FLAIR MRI.
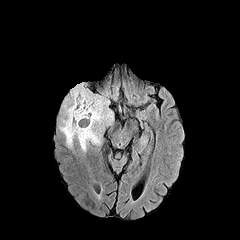
T1-weighted magnetic resonance.
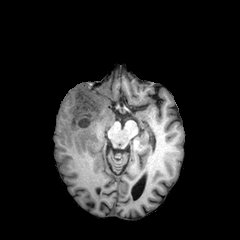
Post-contrast T1-weighted magnetic resonance.
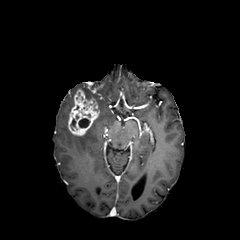
T2-weighted MR image.
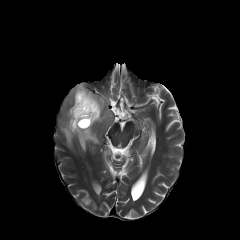
Brain; Axial slice
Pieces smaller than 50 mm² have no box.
enhancing tumor: bounding box 68, 88, 99, 135
necrotic tumor core: bounding box 78, 118, 89, 127
peritumoral edema: bounding box 59, 83, 113, 152